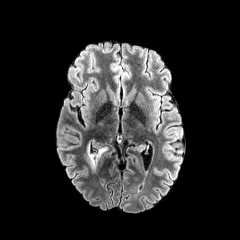
FLAIR MR.
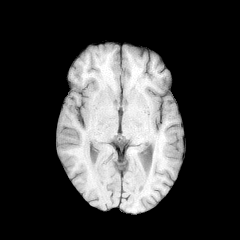
T1-weighted MR image.
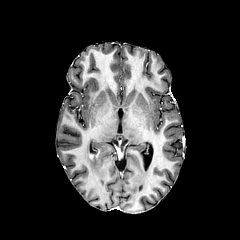
Same slice, post-contrast T1-weighted MRI.
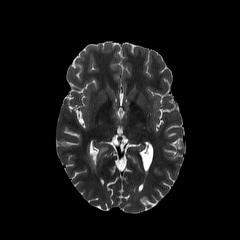
T2-weighted MRI.
Axial slice
enhancing tumor — left=89, top=149, right=100, bottom=159
peritumoral edema — left=84, top=143, right=108, bottom=172